Head; 240x240; Slice index 95
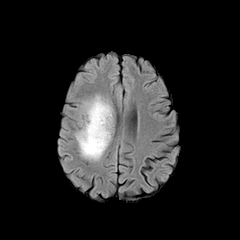
FLAIR MR.
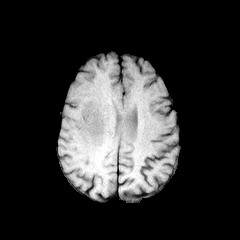
T1-weighted magnetic resonance of the same slice.
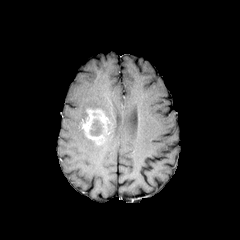
Post-contrast T1-weighted MR of the same slice.
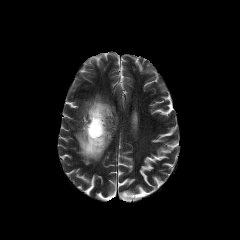
T2-weighted MR.
<segmentation>
  <enhancing_tumor>l=82, t=109, r=107, b=145</enhancing_tumor>
  <necrotic_tumor_core>l=90, t=120, r=101, b=135</necrotic_tumor_core>
  <peritumoral_edema>l=75, t=95, r=112, b=160</peritumoral_edema>
</segmentation>